Head; Axial plane; Slice 66 of 155; Image size 240x240
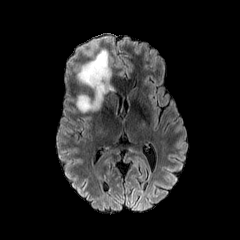
FLAIR MRI.
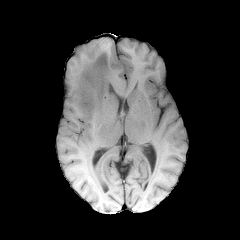
T1-weighted MRI.
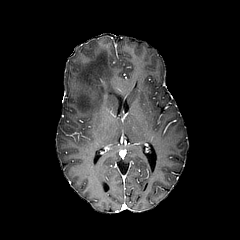
Same slice, post-contrast T1-weighted MR image.
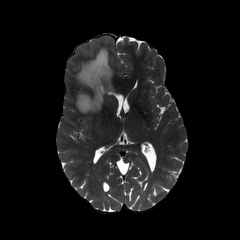
T2-weighted MR image of the same slice.
<segmentation>
  <peritumoral_edema>left=76, top=48, right=112, bottom=112</peritumoral_edema>
</segmentation>